FLAIR MR image.
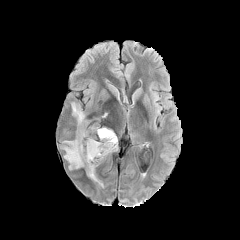
T1-weighted magnetic resonance.
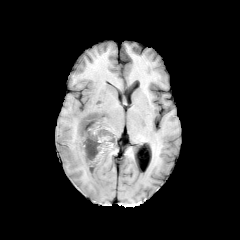
Post-contrast T1-weighted MR.
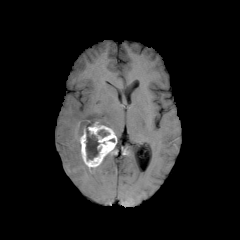
T2-weighted MR.
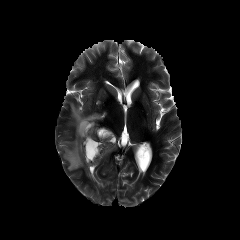
240x240 px.
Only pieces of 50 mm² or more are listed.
necrotic tumor core — [77,121,100,159], [98,129,109,137]
enhancing tumor — [75,119,117,173]
peritumoral edema — [72,103,84,125], [61,139,104,187]